Brain.
FLAIR MRI.
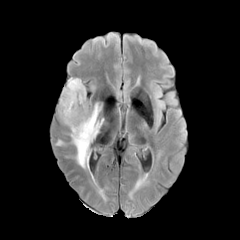
T1-weighted MR image.
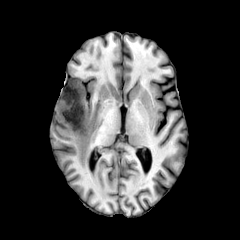
Post-contrast T1-weighted MR.
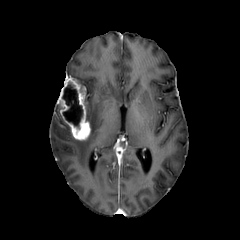
T2-weighted MR image.
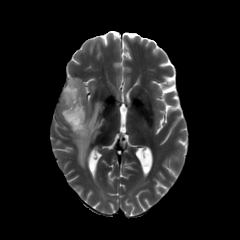
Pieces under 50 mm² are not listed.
peritumoral edema: bounding box 70 103 104 168
enhancing tumor: bounding box 57 77 90 140
necrotic tumor core: bounding box 62 82 82 128